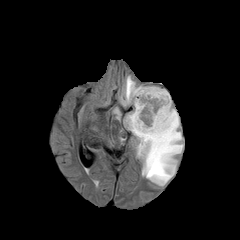
FLAIR MRI.
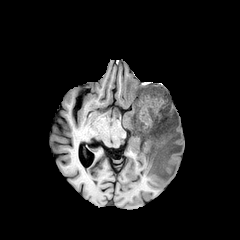
T1-weighted magnetic resonance.
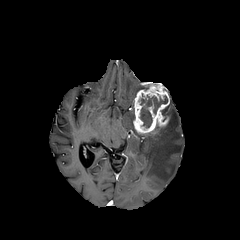
Post-contrast T1-weighted magnetic resonance of the same slice.
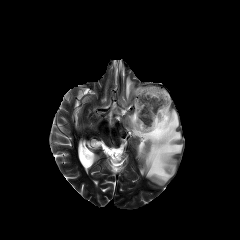
T2-weighted MR image.
Brain
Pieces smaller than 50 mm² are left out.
necrotic tumor core: box(140, 95, 167, 127) | enhancing tumor: box(133, 83, 170, 134) | peritumoral edema: box(121, 76, 144, 105); box(125, 100, 183, 185)